Slice index 84 | Image width 240 mm, 1.00 mm slice spacing | Brain
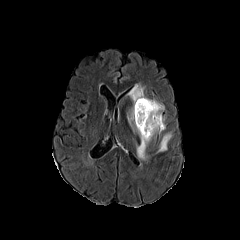
FLAIR MR image.
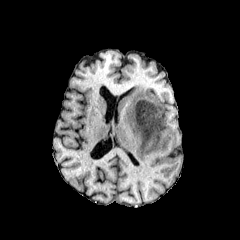
Same slice, T1-weighted MR.
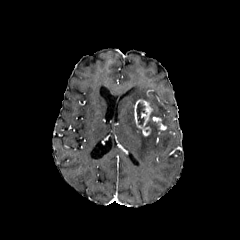
Post-contrast T1-weighted MR.
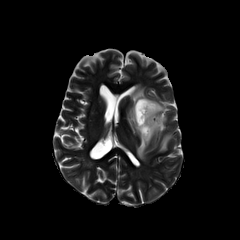
T2-weighted MR image.
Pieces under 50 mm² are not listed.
The largest necrotic tumor core region is located at bbox=[136, 103, 144, 124]. 2 peritumoral edema regions are bounded by bbox=[158, 133, 171, 151]; bbox=[127, 84, 165, 160]. The enhancing tumor is bounded by bbox=[134, 99, 153, 136].